Axial plane | Image size 240x240 | Slice index 65
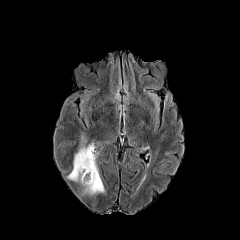
FLAIR MR image.
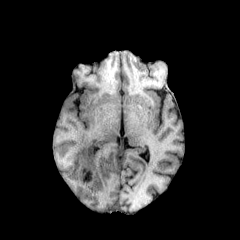
T1-weighted MR image.
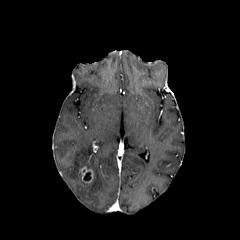
Post-contrast T1-weighted magnetic resonance of the same slice.
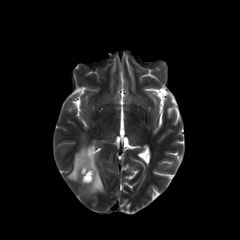
T2-weighted magnetic resonance.
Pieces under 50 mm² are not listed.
peritumoral edema at (67, 136, 105, 195)
necrotic tumor core at (83, 172, 91, 180)
enhancing tumor at (80, 166, 93, 183)